Slice index 83, Brain, Image width 240 mm, 1.00 mm slice spacing
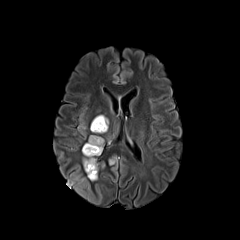
FLAIR magnetic resonance.
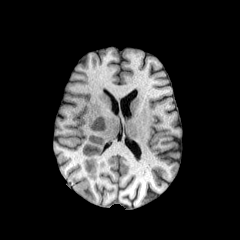
Same slice, T1-weighted MR.
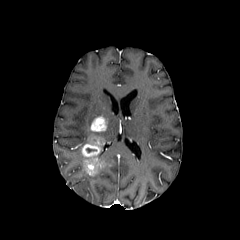
Post-contrast T1-weighted magnetic resonance of the same slice.
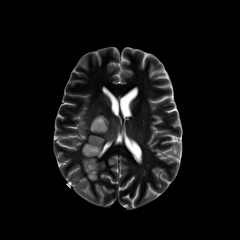
T2-weighted MR.
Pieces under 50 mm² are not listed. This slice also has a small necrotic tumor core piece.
Segmented structures:
- enhancing tumor: [x1=82, y1=135, x2=104, y2=175], [x1=90, y1=116, x2=107, y2=131]
- peritumoral edema: [x1=109, y1=157, x2=117, y2=164], [x1=78, y1=123, x2=85, y2=132], [x1=87, y1=168, x2=99, y2=180]